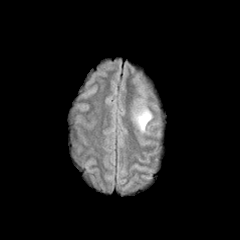
FLAIR MRI.
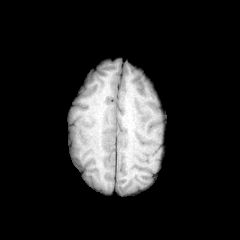
T1-weighted MR of the same slice.
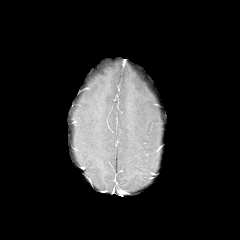
Post-contrast T1-weighted magnetic resonance of the same slice.
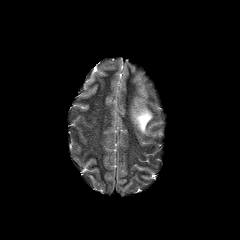
T2-weighted MR image.
240x240 px | Brain
The peritumoral edema appears at left=132, top=99, right=152, bottom=133.